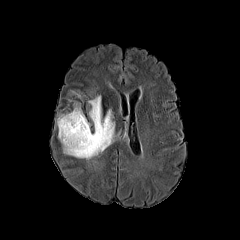
FLAIR MR.
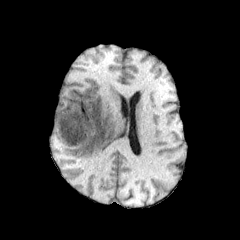
Same slice, T1-weighted MR image.
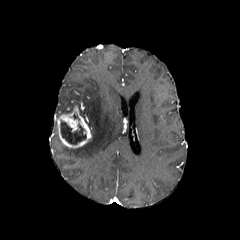
Post-contrast T1-weighted MR of the same slice.
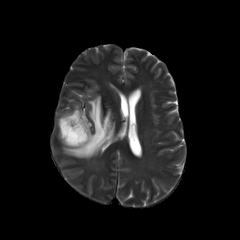
Same slice, T2-weighted magnetic resonance.
Axial plane, Brain, 240x240
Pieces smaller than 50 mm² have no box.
Segmented structures:
- enhancing tumor: (56,105,92,148)
- necrotic tumor core: (61,121,86,144)
- peritumoral edema: (63,95,115,159), (78,105,90,127)